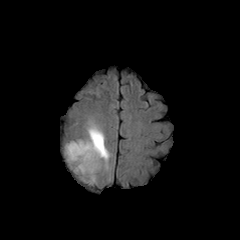
FLAIR MR.
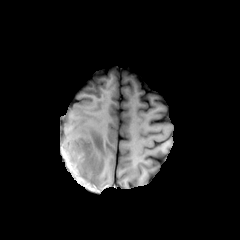
T1-weighted MR.
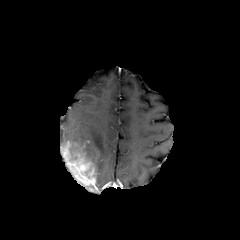
Post-contrast T1-weighted MR image.
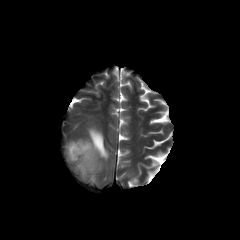
T2-weighted MR of the same slice.
peritumoral_edema:
  - (69,123,110,172)
enhancing_tumor:
  - (63,141,97,185)